240x240 px | Brain
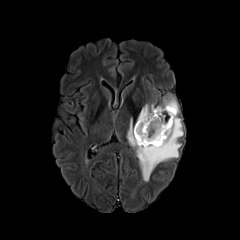
FLAIR MRI.
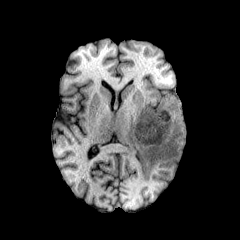
Same slice, T1-weighted MR image.
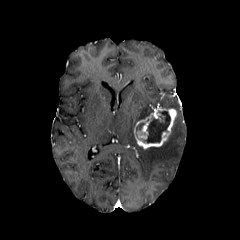
Same slice, post-contrast T1-weighted magnetic resonance.
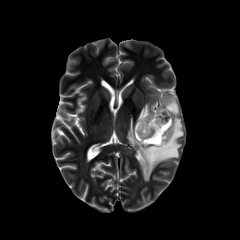
Same slice, T2-weighted MRI.
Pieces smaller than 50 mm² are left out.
peritumoral edema: box(137, 104, 153, 121); box(127, 97, 183, 181) | enhancing tumor: box(134, 106, 176, 149) | necrotic tumor core: box(144, 111, 170, 143)